Brain
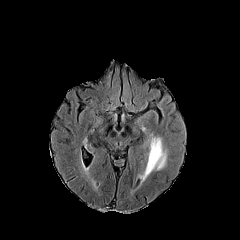
FLAIR MR image.
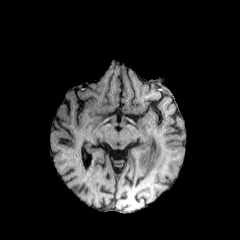
T1-weighted magnetic resonance of the same slice.
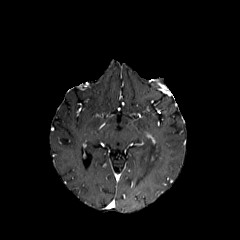
Post-contrast T1-weighted magnetic resonance.
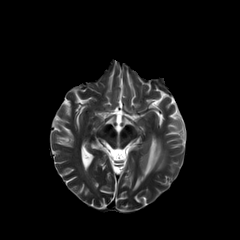
T2-weighted MRI.
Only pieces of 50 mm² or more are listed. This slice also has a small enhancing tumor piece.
<segmentation>
  <peritumoral_edema>{"x1": 140, "y1": 137, "x2": 166, "y2": 180}</peritumoral_edema>
</segmentation>